Axial slice | Slice 45/155 | Brain
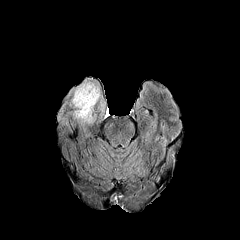
FLAIR MR.
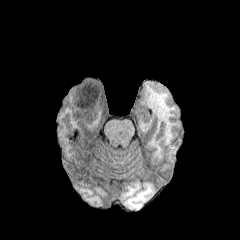
T1-weighted MR image of the same slice.
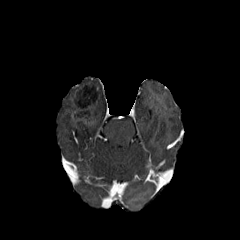
Post-contrast T1-weighted MRI.
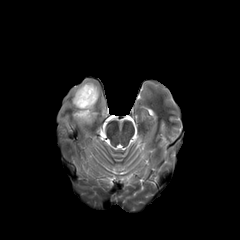
T2-weighted MRI.
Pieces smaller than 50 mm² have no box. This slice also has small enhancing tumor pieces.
2 necrotic tumor core regions are bounded by bbox=[75, 85, 97, 108]; bbox=[76, 110, 91, 124]. The largest peritumoral edema region is bounded by bbox=[70, 79, 105, 121].